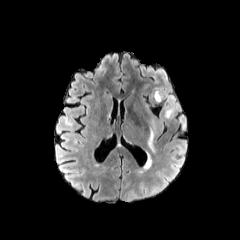
FLAIR MR.
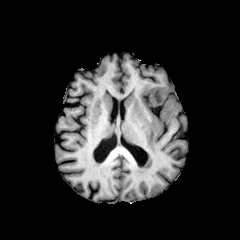
Same slice, T1-weighted magnetic resonance.
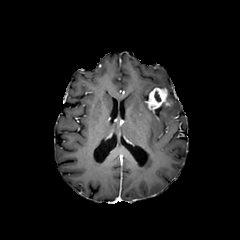
Post-contrast T1-weighted MRI.
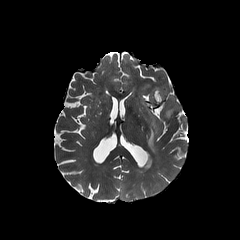
T2-weighted MRI.
240x240.
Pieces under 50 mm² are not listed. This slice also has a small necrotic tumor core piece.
Annotated regions:
* enhancing tumor: [148, 88, 169, 108]
* peritumoral edema: [165, 95, 179, 118], [139, 155, 151, 171], [147, 120, 156, 152]